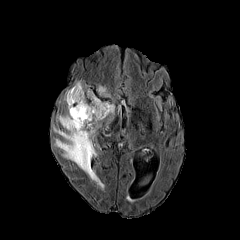
FLAIR MR image.
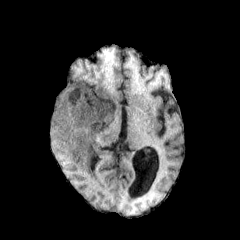
T1-weighted MR image.
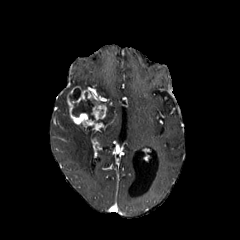
Post-contrast T1-weighted MRI of the same slice.
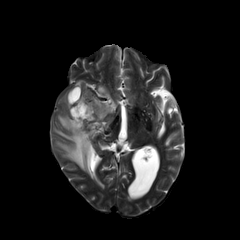
Same slice, T2-weighted magnetic resonance.
Axial view
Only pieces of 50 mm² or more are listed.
enhancing_tumor:
  - [67,86,107,130]
necrotic_tumor_core:
  - [69,88,80,100]
  - [72,92,96,120]
peritumoral_edema:
  - [106,102,114,116]
  - [53,103,99,183]
  - [96,85,110,97]